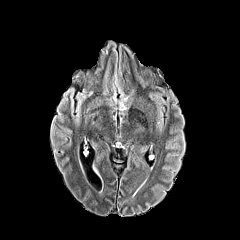
FLAIR magnetic resonance.
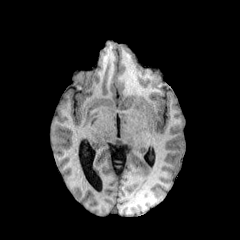
T1-weighted magnetic resonance.
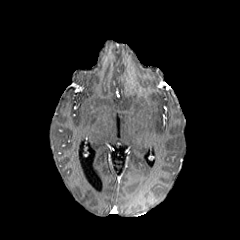
Post-contrast T1-weighted MR image of the same slice.
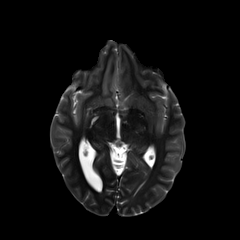
T2-weighted magnetic resonance.
Brain
{"peritumoral_edema": ["(119, 97, 128, 110)"]}